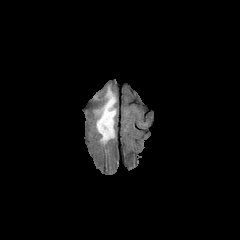
FLAIR magnetic resonance.
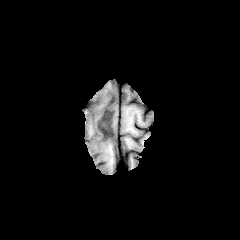
T1-weighted MRI.
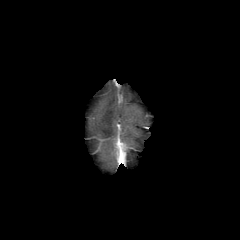
Post-contrast T1-weighted MR.
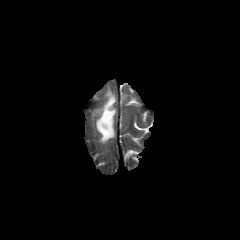
Same slice, T2-weighted magnetic resonance.
Head, Axial plane
peritumoral edema: <box>95,88,116,143</box>